Image size 240x240, Head, Axial slice
FLAIR MR image.
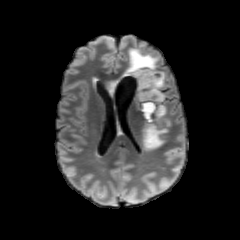
T1-weighted MRI.
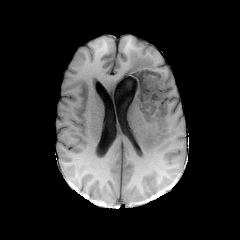
Post-contrast T1-weighted MR image.
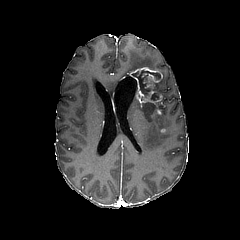
T2-weighted MRI.
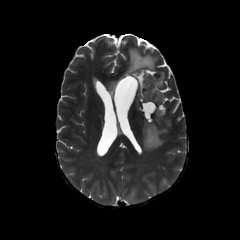
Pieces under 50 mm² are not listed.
peritumoral edema — (143, 121, 170, 150), (155, 100, 165, 118), (106, 48, 158, 95), (157, 71, 165, 99)
necrotic tumor core — (132, 70, 161, 100), (142, 102, 155, 121)
enhancing tumor — (127, 67, 162, 106), (145, 74, 160, 87)